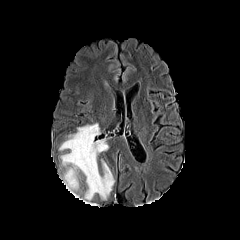
FLAIR MR.
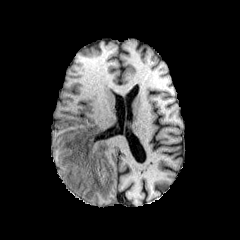
T1-weighted MR image of the same slice.
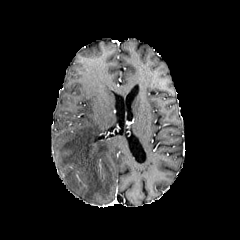
Post-contrast T1-weighted magnetic resonance of the same slice.
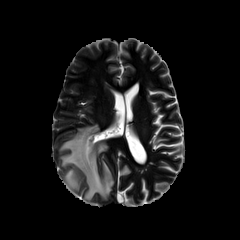
Same slice, T2-weighted MR image.
Axial plane, Brain
peritumoral edema at (x1=59, y1=123, x2=114, y2=201)